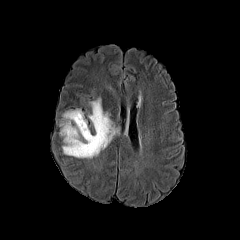
FLAIR MRI.
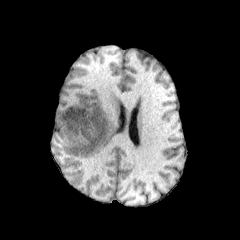
Same slice, T1-weighted magnetic resonance.
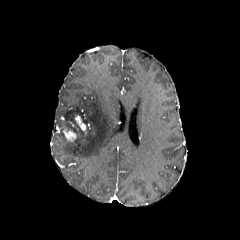
Same slice, post-contrast T1-weighted MR.
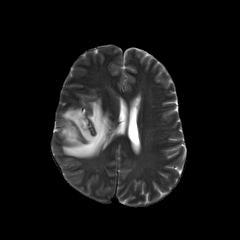
T2-weighted MRI of the same slice.
240x240 px
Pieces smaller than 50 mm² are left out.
enhancing_tumor:
  - bbox(74, 115, 86, 134)
  - bbox(62, 124, 77, 141)
peritumoral_edema:
  - bbox(61, 98, 117, 158)